Slice index 55
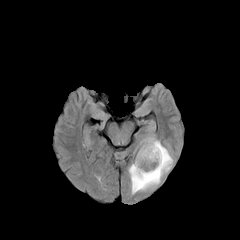
FLAIR MR image.
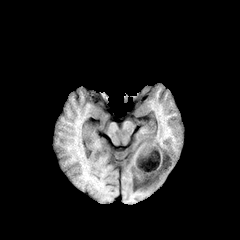
T1-weighted MR.
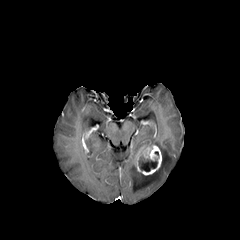
Post-contrast T1-weighted MR.
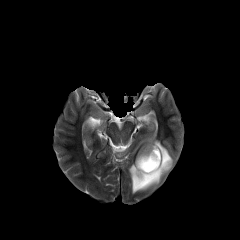
Same slice, T2-weighted MRI.
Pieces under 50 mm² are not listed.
Segmented structures:
* enhancing tumor: (135,145,162,175)
* peritumoral edema: (128,135,173,194)
* necrotic tumor core: (139,156,157,171)